Brain.
FLAIR magnetic resonance.
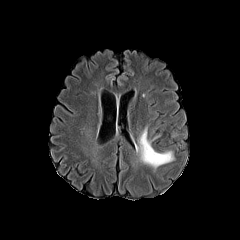
T1-weighted MR image.
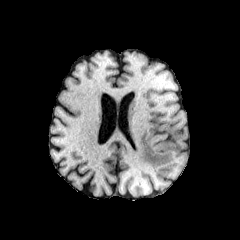
Post-contrast T1-weighted magnetic resonance.
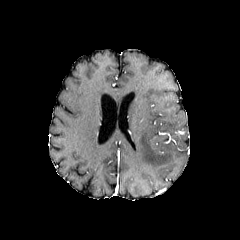
T2-weighted MR.
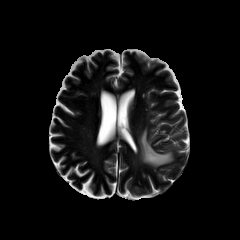
Findings:
• peritumoral edema: [137,123,175,169]